Slice 52/155; Head
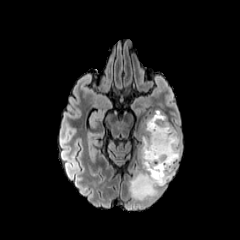
FLAIR MRI.
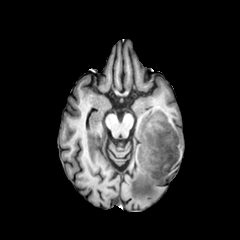
T1-weighted magnetic resonance.
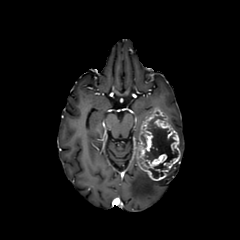
Post-contrast T1-weighted MRI of the same slice.
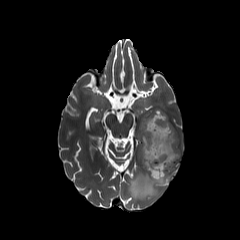
T2-weighted magnetic resonance.
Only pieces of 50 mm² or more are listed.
peritumoral edema = 174,128,182,155; 129,160,179,199
necrotic tumor core = 148,168,163,178; 144,116,178,169; 140,134,147,148
enhancing tumor = 135,108,180,180